FLAIR magnetic resonance.
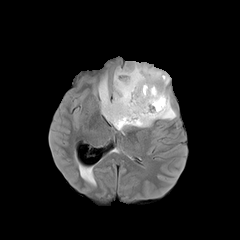
T1-weighted magnetic resonance.
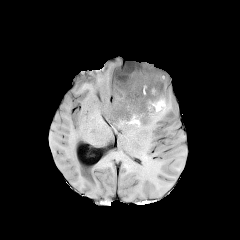
Post-contrast T1-weighted MR.
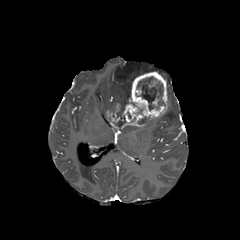
T2-weighted MR image.
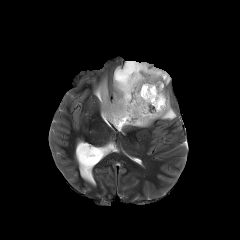
Axial slice. 240x240.
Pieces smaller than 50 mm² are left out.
{
  "enhancing_tumor": [
    "bbox(121, 71, 168, 129)",
    "bbox(106, 103, 120, 130)"
  ],
  "necrotic_tumor_core": [
    "bbox(137, 77, 163, 110)"
  ],
  "peritumoral_edema": [
    "bbox(139, 89, 176, 127)",
    "bbox(95, 62, 170, 130)"
  ]
}